FLAIR MR.
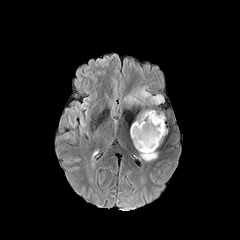
T1-weighted magnetic resonance.
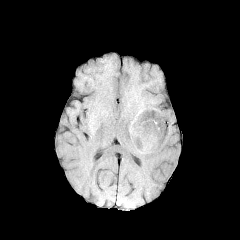
Post-contrast T1-weighted MR.
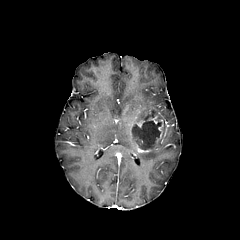
T2-weighted MR image.
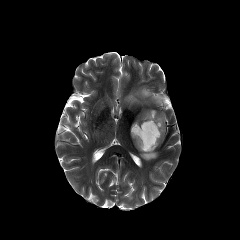
Head. Axial view. Image size 240x240.
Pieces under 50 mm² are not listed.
peritumoral edema = (132,110,158,125), (140,142,159,161), (135,87,164,104)
necrotic tumor core = (133,114,162,149)
enhancing tumor = (132,112,152,152), (152,115,166,149), (148,113,160,123)